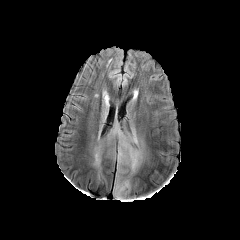
FLAIR magnetic resonance.
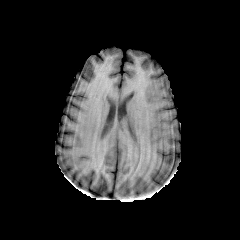
T1-weighted MR.
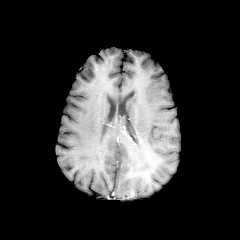
Same slice, post-contrast T1-weighted MR.
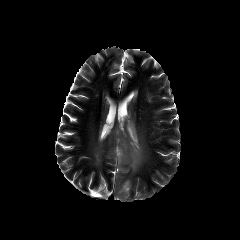
T2-weighted magnetic resonance.
Axial plane
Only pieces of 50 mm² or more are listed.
<segmentation>
  <peritumoral_edema>region(132, 131, 138, 146); region(114, 127, 140, 170); region(118, 146, 126, 162)</peritumoral_edema>
</segmentation>